FLAIR MR image.
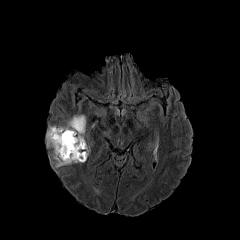
T1-weighted MRI.
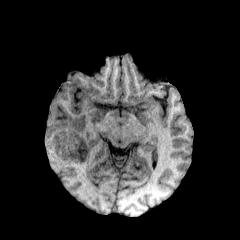
Post-contrast T1-weighted MR image.
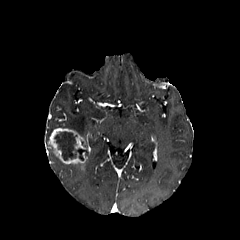
T2-weighted MRI.
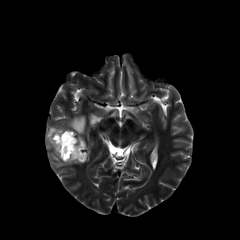
Axial slice, Head
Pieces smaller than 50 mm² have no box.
Annotated regions:
* enhancing tumor: [x1=47, y1=128, x2=87, y2=169]
* necrotic tumor core: [x1=54, y1=132, x2=88, y2=160]
* peritumoral edema: [x1=46, y1=125, x2=56, y2=141], [x1=49, y1=152, x2=65, y2=168], [x1=66, y1=115, x2=86, y2=136]